FLAIR MR.
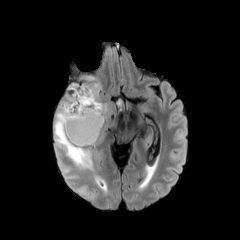
T1-weighted MR image.
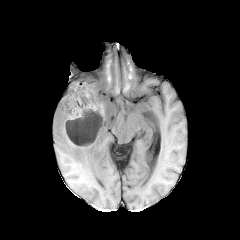
Post-contrast T1-weighted magnetic resonance.
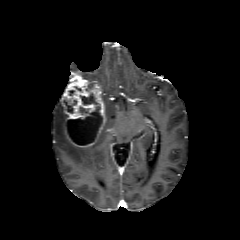
T2-weighted MRI.
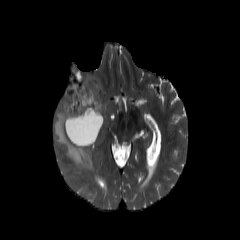
Head.
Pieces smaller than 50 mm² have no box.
necrotic tumor core = <bbox>65, 100, 76, 112</bbox>, <bbox>80, 93, 98, 104</bbox>, <bbox>66, 106, 102, 145</bbox>
peritumoral edema = <bbox>54, 104, 92, 168</bbox>
enhancing tumor = <bbox>62, 76, 106, 147</bbox>